Axial view, Slice 37/155
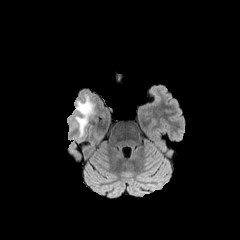
FLAIR MR.
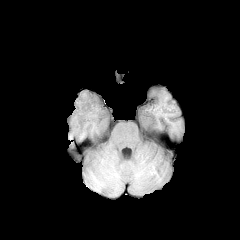
T1-weighted MR.
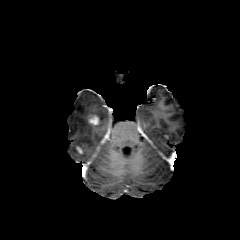
Post-contrast T1-weighted MRI.
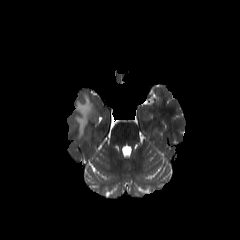
T2-weighted MR of the same slice.
{"peritumoral_edema": ["73 94 95 137"], "enhancing_tumor": ["88 116 99 124"]}